Slice index 60; Image size 240x240; Brain
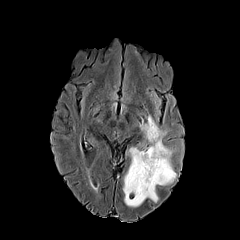
FLAIR MR.
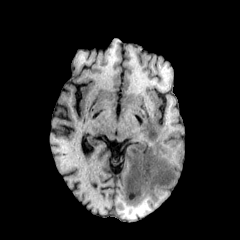
Same slice, T1-weighted MR image.
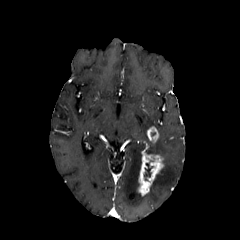
Post-contrast T1-weighted MRI.
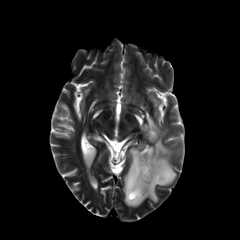
Same slice, T2-weighted MRI.
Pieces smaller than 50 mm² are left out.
Segmented structures:
• necrotic tumor core: x1=144 y1=163 x2=150 y2=180
• peritumoral edema: x1=123 y1=116 x2=176 y2=207
• enhancing tumor: x1=137 y1=149 x2=164 y2=195, x1=147 y1=126 x2=158 y2=143